Brain, 240x240, Axial plane
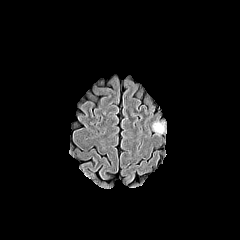
FLAIR magnetic resonance.
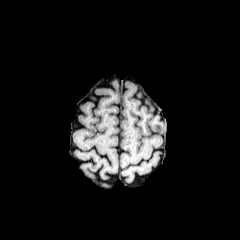
T1-weighted MR of the same slice.
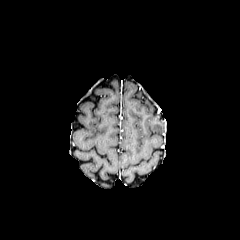
Post-contrast T1-weighted magnetic resonance.
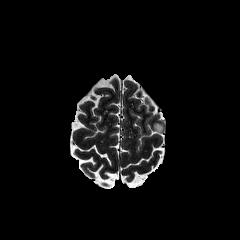
T2-weighted MR image of the same slice.
Findings:
- peritumoral edema: [153, 123, 164, 133]